FLAIR MR.
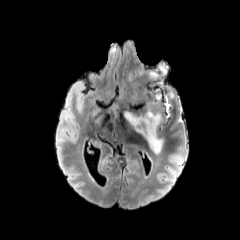
T1-weighted MRI.
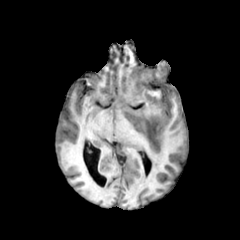
Post-contrast T1-weighted MRI.
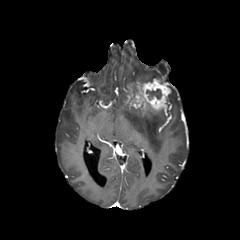
T2-weighted MR.
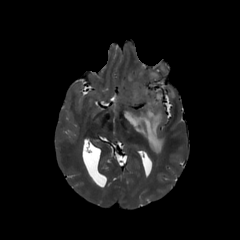
Head.
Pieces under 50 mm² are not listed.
necrotic tumor core: {"x1": 146, "y1": 89, "x2": 161, "y2": 99}
enhancing tumor: {"x1": 129, "y1": 78, "x2": 171, "y2": 110}
peritumoral edema: {"x1": 148, "y1": 71, "x2": 160, "y2": 80}, {"x1": 159, "y1": 64, "x2": 166, "y2": 74}, {"x1": 124, "y1": 98, "x2": 163, "y2": 154}